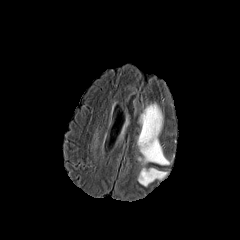
FLAIR MRI.
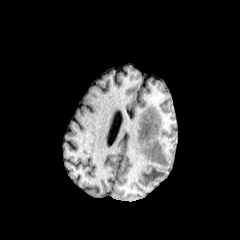
Same slice, T1-weighted magnetic resonance.
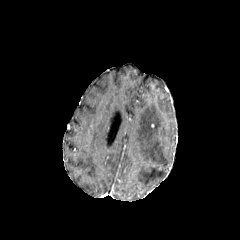
Post-contrast T1-weighted MR of the same slice.
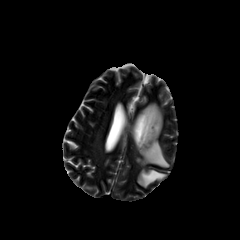
T2-weighted magnetic resonance of the same slice.
Image size 240x240
peritumoral edema = 137,103,169,165; 138,168,166,186